FLAIR MR image.
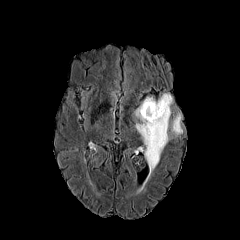
T1-weighted MR.
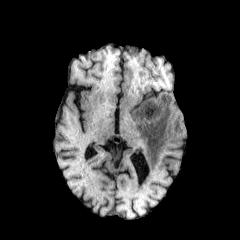
Post-contrast T1-weighted MR image.
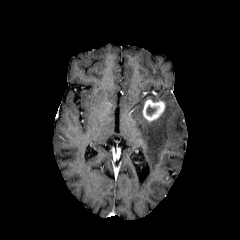
T2-weighted MRI.
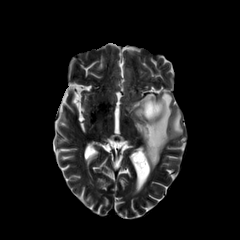
Brain. 240x240 px.
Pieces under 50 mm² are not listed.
Annotated regions:
- peritumoral edema: (left=134, top=93, right=182, bottom=172)
- enhancing tumor: (left=142, top=98, right=165, bottom=121)
- necrotic tumor core: (left=147, top=106, right=155, bottom=114)